Slice index 41 | Brain
FLAIR magnetic resonance.
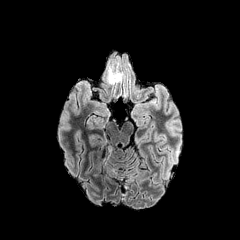
T1-weighted MR image.
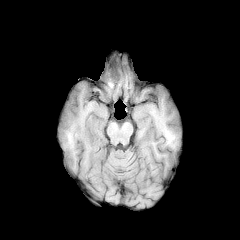
Post-contrast T1-weighted MR image.
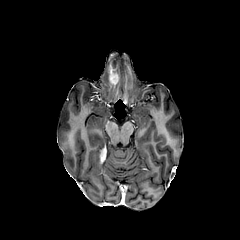
T2-weighted MRI.
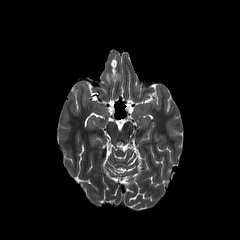
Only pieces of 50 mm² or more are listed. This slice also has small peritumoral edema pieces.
Findings:
- enhancing tumor: (left=100, top=146, right=106, bottom=162), (left=110, top=74, right=118, bottom=83)